FLAIR magnetic resonance.
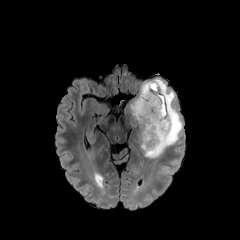
T1-weighted MR.
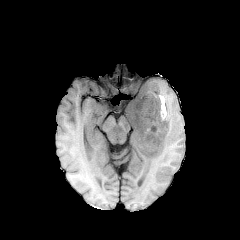
Post-contrast T1-weighted MR image.
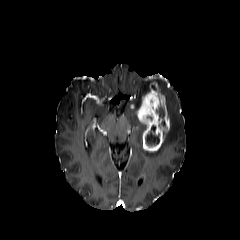
T2-weighted MR.
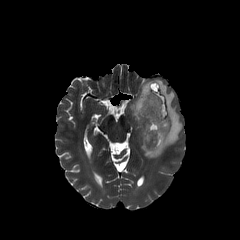
240x240 px; Head
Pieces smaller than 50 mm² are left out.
Annotated regions:
* enhancing tumor: <box>130,80,169,152</box>
* peritumoral edema: <box>140,78,182,157</box>, <box>131,81,150,106</box>
* necrotic tumor core: <box>148,125,159,144</box>, <box>156,105,165,126</box>